FLAIR MRI.
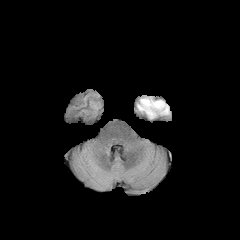
T1-weighted MR image.
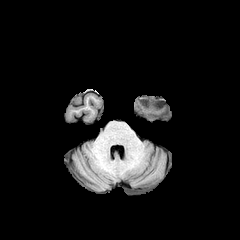
Post-contrast T1-weighted MRI.
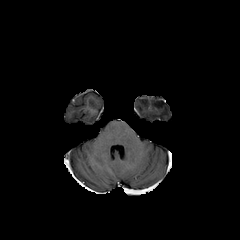
T2-weighted MRI.
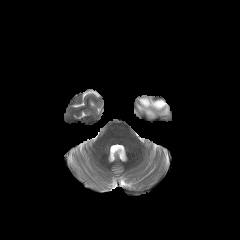
240x240, Head
The peritumoral edema is located at {"x1": 137, "y1": 98, "x2": 169, "y2": 118}.